Axial view; 240x240
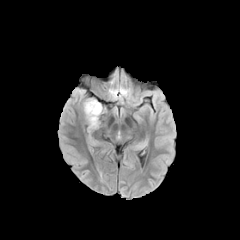
FLAIR MRI.
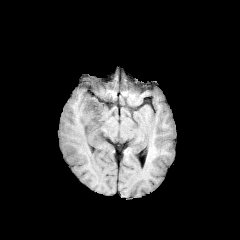
T1-weighted MR of the same slice.
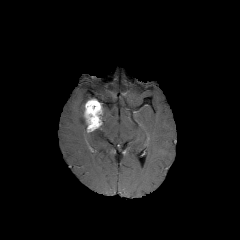
Same slice, post-contrast T1-weighted magnetic resonance.
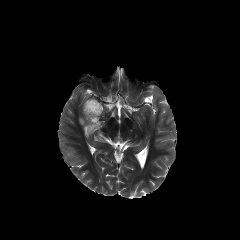
T2-weighted MRI of the same slice.
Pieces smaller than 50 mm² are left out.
The enhancing tumor appears at region(83, 97, 105, 132). The largest peritumoral edema region is located at region(79, 98, 88, 123).